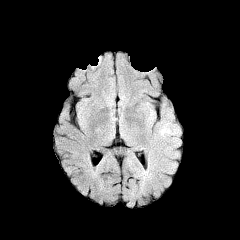
FLAIR MRI.
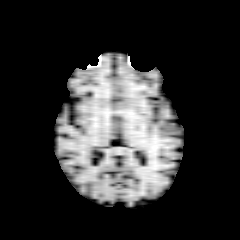
Same slice, T1-weighted magnetic resonance.
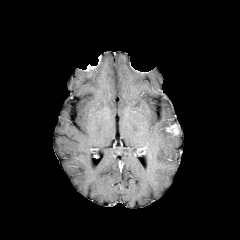
Post-contrast T1-weighted MR of the same slice.
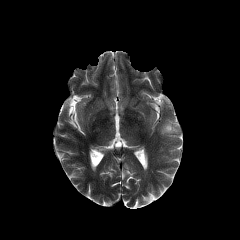
Same slice, T2-weighted magnetic resonance.
Brain
<segmentation>
  <enhancing_tumor>l=165, t=123, r=179, b=135</enhancing_tumor>
  <peritumoral_edema>l=159, t=123, r=172, b=136</peritumoral_edema>
</segmentation>